FLAIR MR image.
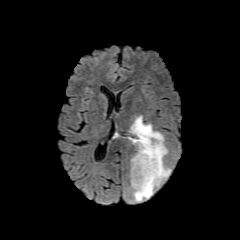
T1-weighted magnetic resonance.
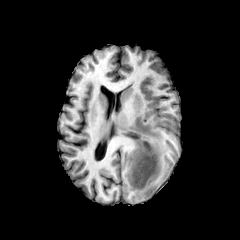
Post-contrast T1-weighted MR image.
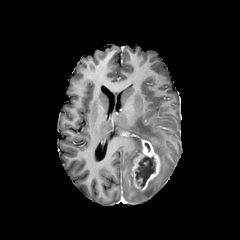
T2-weighted MR image.
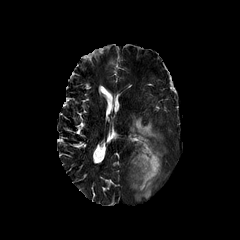
Head. Image size 240x240.
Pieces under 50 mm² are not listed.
{
  "peritumoral_edema": [
    "rect(128, 116, 170, 201)"
  ],
  "necrotic_tumor_core": [
    "rect(135, 156, 155, 187)"
  ],
  "enhancing_tumor": [
    "rect(131, 139, 160, 190)"
  ]
}